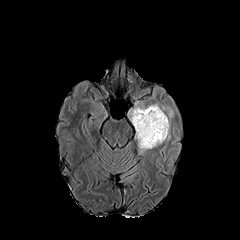
FLAIR MRI.
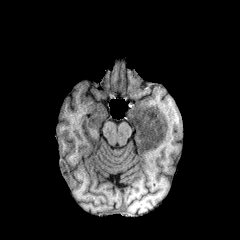
T1-weighted MRI.
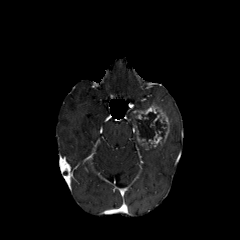
Post-contrast T1-weighted magnetic resonance.
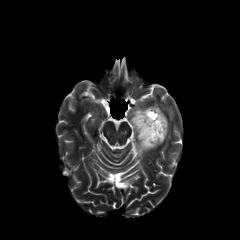
Same slice, T2-weighted MR image.
240x240; Axial slice; Brain
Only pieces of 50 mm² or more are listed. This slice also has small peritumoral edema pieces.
enhancing_tumor:
  - [x1=132, y1=105, x2=169, y2=140]
  - [x1=134, y1=122, x2=162, y2=149]
necrotic_tumor_core:
  - [x1=134, y1=112, x2=167, y2=141]